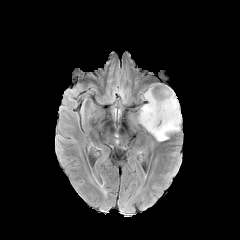
FLAIR MR image.
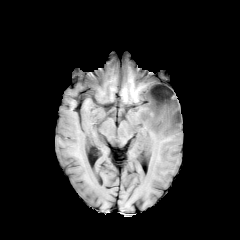
T1-weighted MR image.
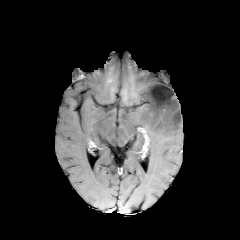
Post-contrast T1-weighted magnetic resonance.
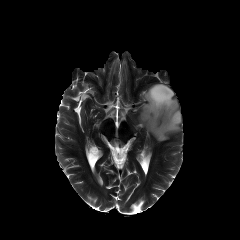
T2-weighted MR.
Brain; Image size 240x240
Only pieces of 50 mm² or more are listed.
The necrotic tumor core lies within [148,84,175,113]. The largest peritumoral edema region is located at [138,86,181,141].